FLAIR MR.
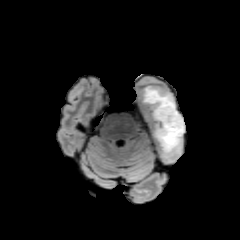
T1-weighted MRI.
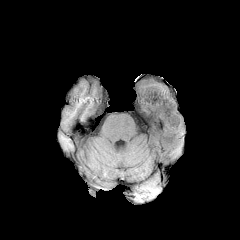
Post-contrast T1-weighted magnetic resonance.
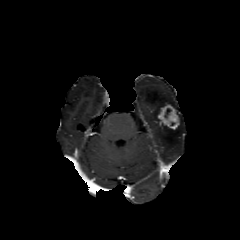
T2-weighted MR image.
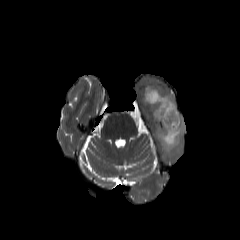
240x240 px | Brain
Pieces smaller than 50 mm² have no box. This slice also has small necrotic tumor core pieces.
peritumoral edema: bounding box 143,86,184,157
enhancing tumor: bounding box 157,102,179,129